FLAIR MRI.
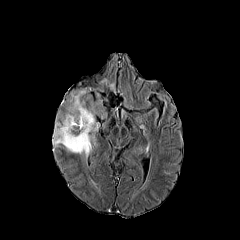
T1-weighted MR.
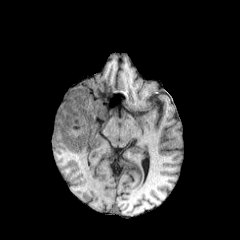
Post-contrast T1-weighted MR image.
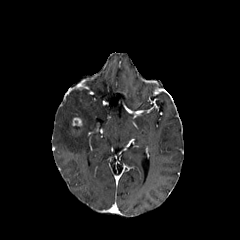
T2-weighted MR image.
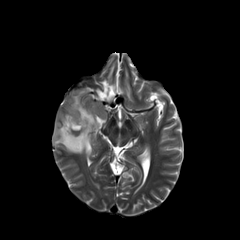
Head
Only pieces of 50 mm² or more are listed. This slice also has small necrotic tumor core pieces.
The enhancing tumor appears at [72,117,82,126]. 2 peritumoral edema regions appear at [52,87,104,158], [98,77,115,93].